Head
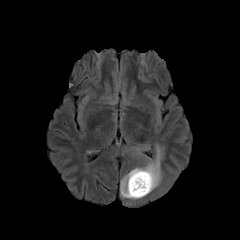
FLAIR magnetic resonance.
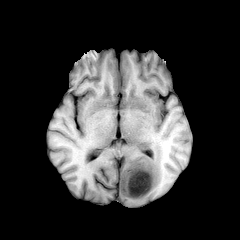
T1-weighted MR image of the same slice.
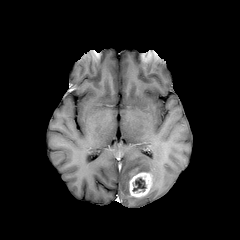
Same slice, post-contrast T1-weighted MRI.
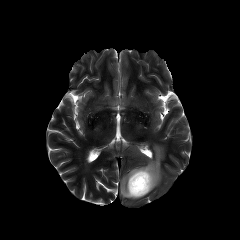
T2-weighted MRI.
enhancing tumor: bounding box (x1=129, y1=169, x2=153, y2=197)
necrotic tumor core: bounding box (x1=133, y1=178, x2=146, y2=191)
peritumoral edema: bounding box (x1=120, y1=145, x2=163, y2=200)